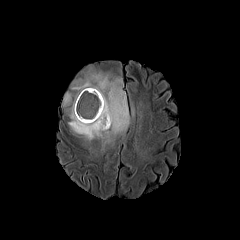
FLAIR MR.
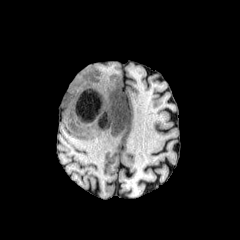
T1-weighted MR.
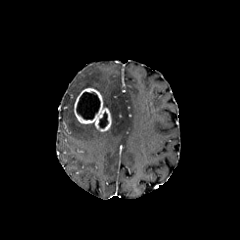
Post-contrast T1-weighted MR of the same slice.
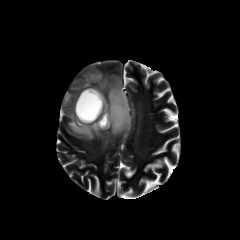
T2-weighted magnetic resonance.
240x240 px, Axial slice
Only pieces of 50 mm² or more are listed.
necrotic tumor core: x1=99, y1=112, x2=108, y2=128; x1=76, y1=92, x2=100, y2=119 | peritumoral edema: x1=63, y1=65, x2=130, y2=144 | enhancing tumor: x1=74, y1=88, x2=111, y2=131